240x240.
FLAIR MR image.
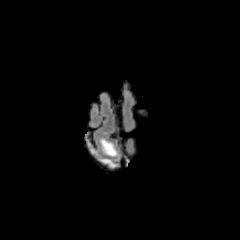
T1-weighted magnetic resonance.
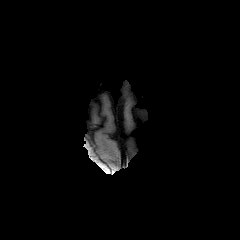
Post-contrast T1-weighted MR.
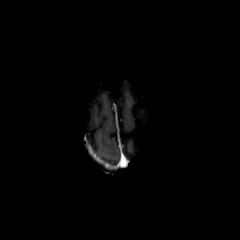
T2-weighted MR image.
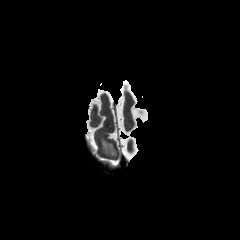
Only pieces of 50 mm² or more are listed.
<segmentation>
  <peritumoral_edema><box>100,138,116,155</box></peritumoral_edema>
</segmentation>